Slice 111 of 155, Head, 240x240, Axial slice
FLAIR MR image.
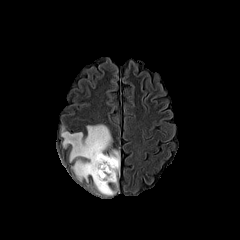
T1-weighted MRI.
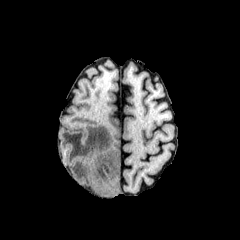
Post-contrast T1-weighted MR image.
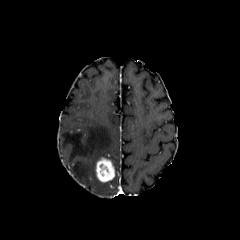
T2-weighted MR.
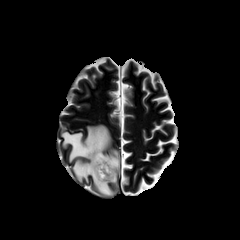
<segmentation>
  <peritumoral_edema>box(61, 124, 119, 195)</peritumoral_edema>
  <enhancing_tumor>box(95, 157, 115, 182)</enhancing_tumor>
</segmentation>